Slice index 103
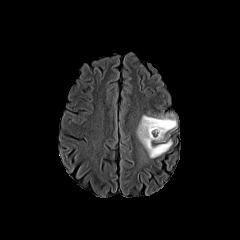
FLAIR MRI.
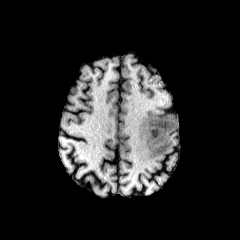
T1-weighted magnetic resonance.
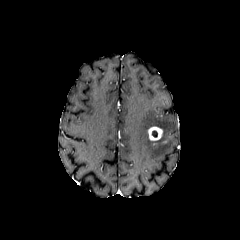
Post-contrast T1-weighted magnetic resonance.
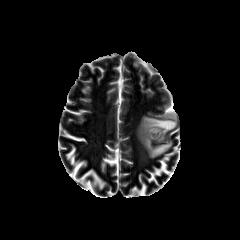
Same slice, T2-weighted MR image.
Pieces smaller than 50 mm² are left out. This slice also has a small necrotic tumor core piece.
enhancing tumor: <bbox>147, 126, 162, 140</bbox> | peritumoral edema: <bbox>136, 115, 176, 158</bbox>